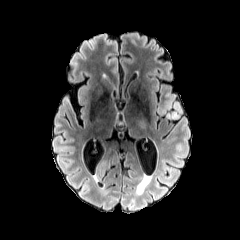
FLAIR MRI.
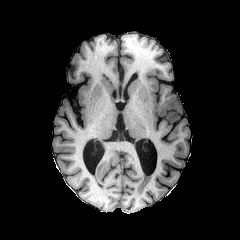
T1-weighted MRI of the same slice.
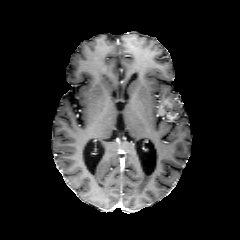
Post-contrast T1-weighted MRI.
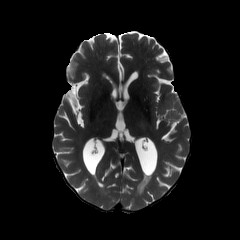
T2-weighted MR image of the same slice.
Axial plane
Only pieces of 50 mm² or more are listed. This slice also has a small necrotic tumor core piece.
2 enhancing tumor regions appear at l=166, t=111, r=177, b=120; l=158, t=99, r=172, b=115. The largest peritumoral edema region is at l=173, t=101, r=181, b=118.